FLAIR magnetic resonance.
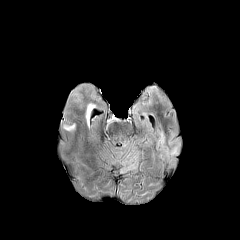
T1-weighted MR.
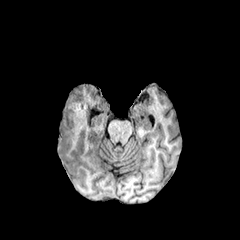
Post-contrast T1-weighted MR image.
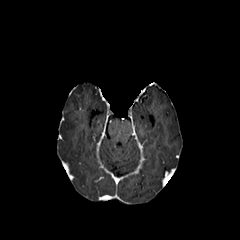
T2-weighted magnetic resonance.
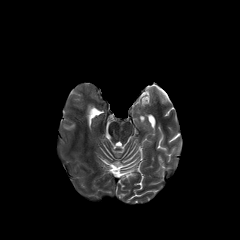
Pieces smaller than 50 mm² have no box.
Findings:
- peritumoral edema: (86, 104, 94, 121)